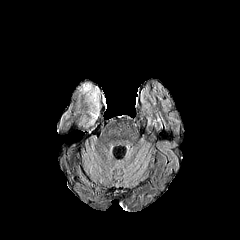
FLAIR MR image.
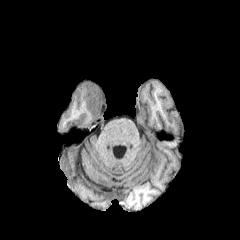
T1-weighted MR image of the same slice.
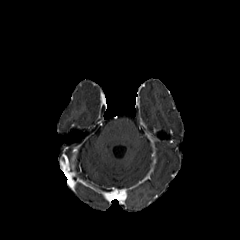
Post-contrast T1-weighted magnetic resonance.
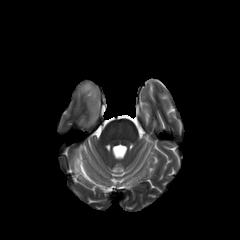
Same slice, T2-weighted MR image.
Brain
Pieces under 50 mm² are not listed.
The largest peritumoral edema region is located at (80,83,98,114).